FLAIR MRI.
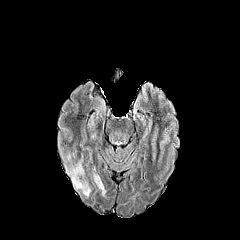
T1-weighted MR image.
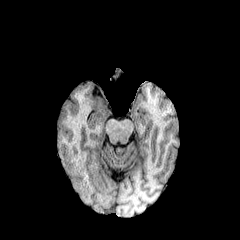
Post-contrast T1-weighted MRI.
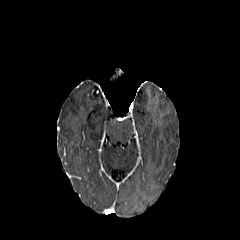
T2-weighted MR.
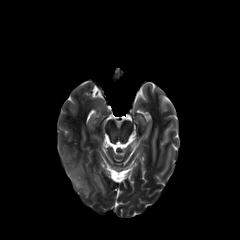
3 peritumoral edema regions are bounded by x1=72 y1=178 x2=90 y2=196, x1=71 y1=164 x2=83 y2=174, x1=94 y1=175 x2=105 y2=195.